Image size 240x240. Axial view.
FLAIR MR image.
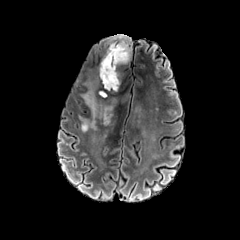
T1-weighted MRI.
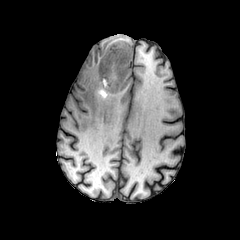
Post-contrast T1-weighted MRI.
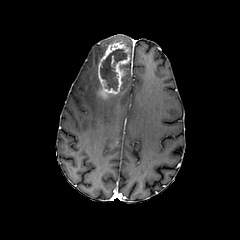
T2-weighted MR image.
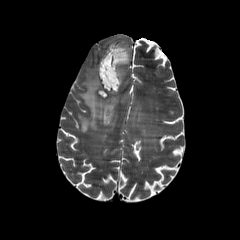
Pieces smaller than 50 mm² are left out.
- necrotic tumor core: 100 49 126 90
- peritumoral edema: 110 34 130 49, 78 82 119 132
- enhancing tumor: 98 42 130 98